Brain
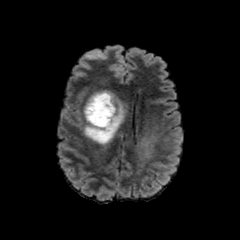
FLAIR MRI.
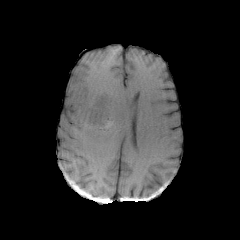
Same slice, T1-weighted MRI.
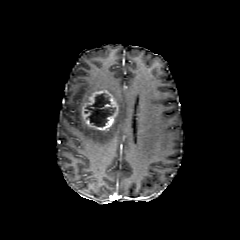
Post-contrast T1-weighted MR image.
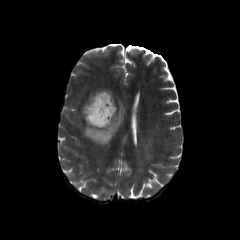
T2-weighted MR image.
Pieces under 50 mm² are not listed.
peritumoral_edema:
  - 134,131,157,173
  - 83,91,124,144
enhancing_tumor:
  - 81,89,118,131
necrotic_tumor_core:
  - 85,93,115,126